240x240 px
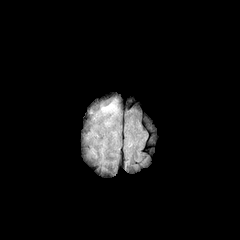
FLAIR magnetic resonance.
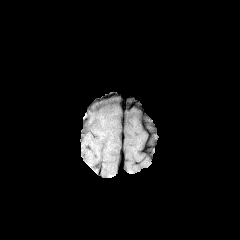
T1-weighted magnetic resonance.
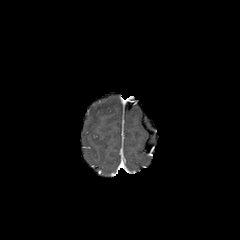
Post-contrast T1-weighted MRI.
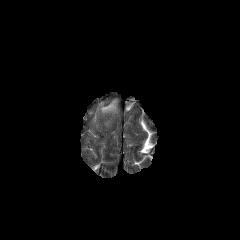
T2-weighted magnetic resonance.
{
  "peritumoral_edema": [
    "left=102, top=103, right=115, bottom=111"
  ]
}